240x240 px | Image width 240 mm
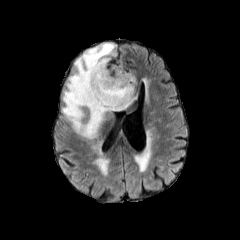
FLAIR MR image.
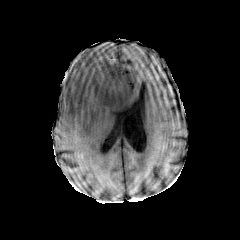
T1-weighted MR image.
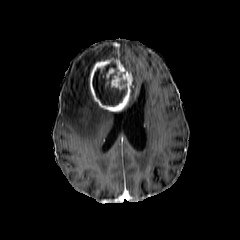
Post-contrast T1-weighted MR image.
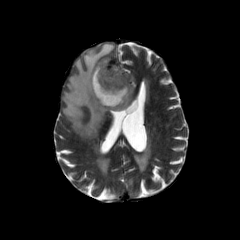
T2-weighted MR of the same slice.
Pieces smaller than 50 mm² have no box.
peritumoral edema: box=[61, 43, 120, 138]; box=[128, 73, 137, 106] | necrotic tumor core: box=[93, 62, 126, 105] | enhancing tumor: box=[89, 58, 133, 111]